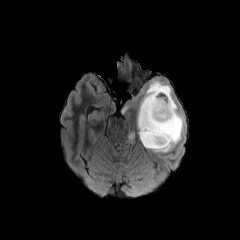
FLAIR MR image.
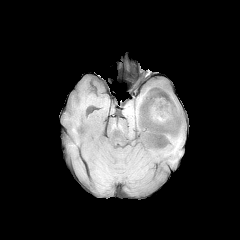
T1-weighted MRI.
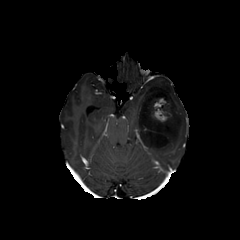
Post-contrast T1-weighted MRI.
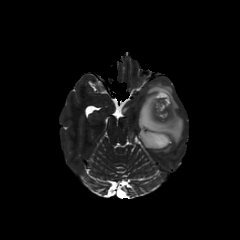
Same slice, T2-weighted MR.
Axial plane, 240x240
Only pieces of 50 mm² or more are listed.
<segmentation>
  <enhancing_tumor>{"x1": 148, "y1": 98, "x2": 171, "y2": 123}</enhancing_tumor>
  <peritumoral_edema>{"x1": 137, "y1": 82, "x2": 184, "y2": 152}</peritumoral_edema>
</segmentation>